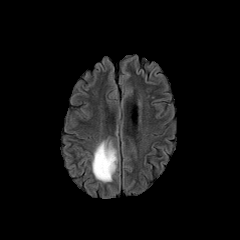
FLAIR magnetic resonance.
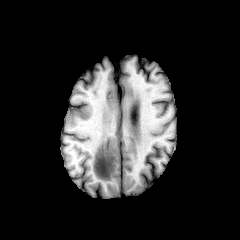
T1-weighted magnetic resonance of the same slice.
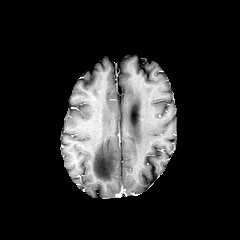
Post-contrast T1-weighted MRI.
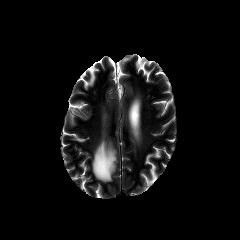
Same slice, T2-weighted MR.
Axial plane.
peritumoral edema: region(92, 140, 117, 182)